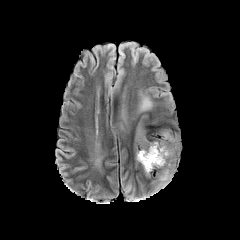
FLAIR MR.
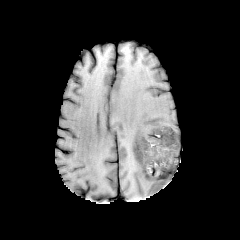
T1-weighted MR image.
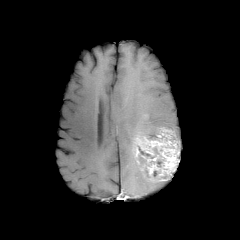
Post-contrast T1-weighted MRI.
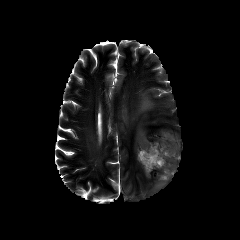
T2-weighted MRI of the same slice.
Axial plane
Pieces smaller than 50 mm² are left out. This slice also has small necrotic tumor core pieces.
The enhancing tumor is located at rect(134, 129, 179, 182). The largest peritumoral edema region is at rect(156, 181, 168, 187).